FLAIR MR image.
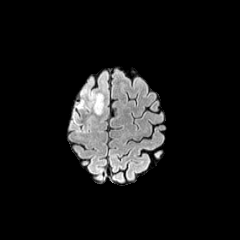
T1-weighted magnetic resonance.
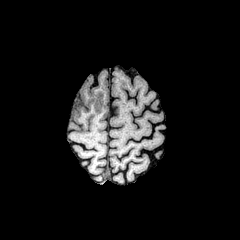
Post-contrast T1-weighted MR.
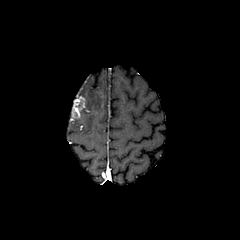
T2-weighted MR image.
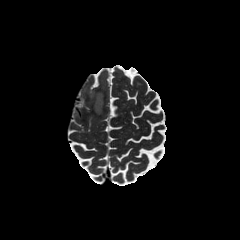
Image size 240x240; Brain
{"enhancing_tumor": ["71,96,85,120"], "peritumoral_edema": ["91,75,107,114"]}